FLAIR MR.
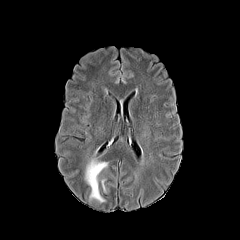
T1-weighted magnetic resonance.
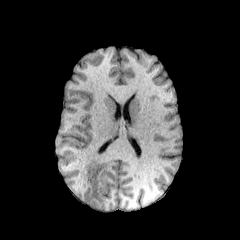
Post-contrast T1-weighted MR.
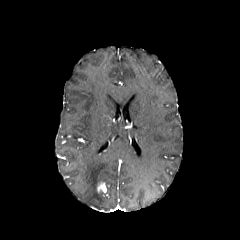
T2-weighted MRI.
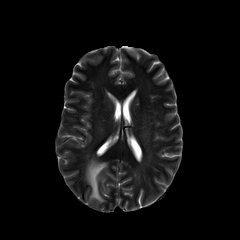
Image size 240x240
The peritumoral edema is at 85:157:108:202. The enhancing tumor appears at 97:182:106:192.